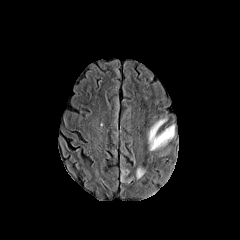
FLAIR MR.
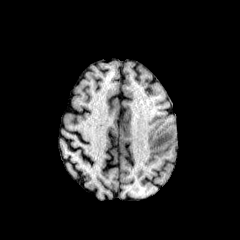
Same slice, T1-weighted magnetic resonance.
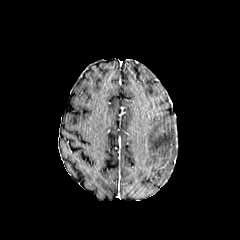
Post-contrast T1-weighted MR image.
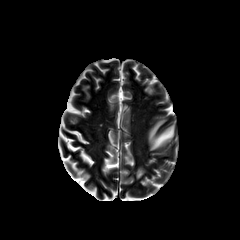
Same slice, T2-weighted magnetic resonance.
<segmentation>
  <peritumoral_edema>(148,118,174,150), (120,167,133,182), (136,167,145,178)</peritumoral_edema>
</segmentation>